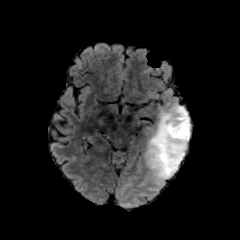
FLAIR MRI.
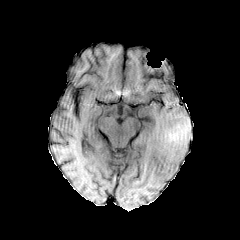
T1-weighted MR.
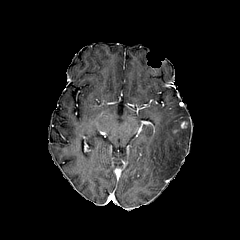
Same slice, post-contrast T1-weighted magnetic resonance.
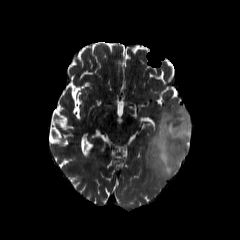
T2-weighted MRI of the same slice.
The peritumoral edema is located at region(145, 105, 190, 180). The enhancing tumor appears at region(173, 121, 187, 132).